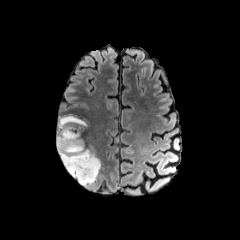
FLAIR MRI.
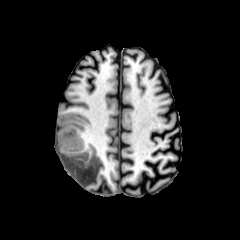
Same slice, T1-weighted MR.
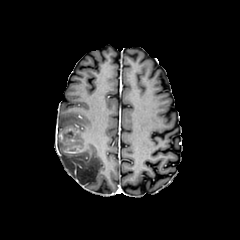
Post-contrast T1-weighted MR image of the same slice.
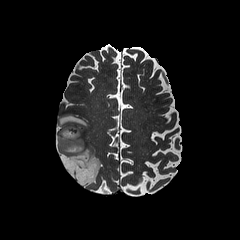
Same slice, T2-weighted MR.
Axial plane, Head
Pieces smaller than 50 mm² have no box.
The enhancing tumor is bounded by [x1=57, y1=119, x2=87, y2=154]. The peritumoral edema is bounded by [x1=56, y1=113, x2=101, y2=186]. The largest necrotic tumor core region lies within [x1=63, y1=131, x2=73, y2=138].